Slice 125/155. Image width 240 mm. 240x240 px. Axial slice.
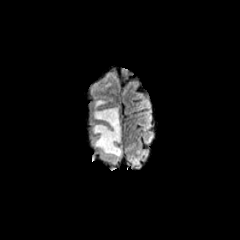
FLAIR MRI.
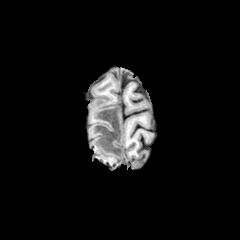
T1-weighted MR image of the same slice.
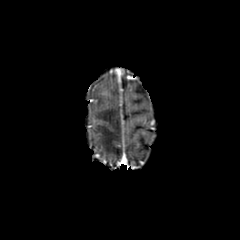
Post-contrast T1-weighted MR image.
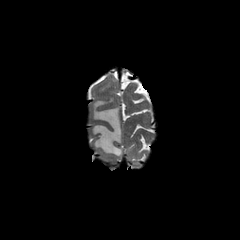
T2-weighted MR image.
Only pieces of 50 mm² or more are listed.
The largest peritumoral edema region is bounded by bbox(92, 100, 122, 162).